Image width 240 mm; Axial slice; Head; 240x240 px
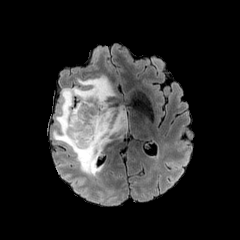
FLAIR MR image.
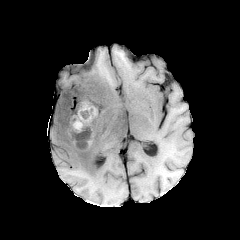
T1-weighted MR image of the same slice.
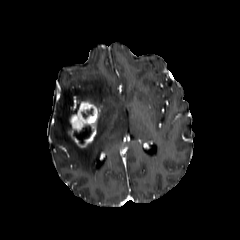
Same slice, post-contrast T1-weighted MRI.
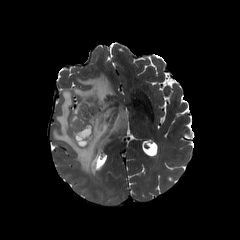
T2-weighted magnetic resonance.
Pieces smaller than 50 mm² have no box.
The peritumoral edema is at (x1=53, y1=75, x2=124, y2=176). The largest necrotic tumor core region is bounded by (x1=73, y1=126, x2=91, y2=144). The enhancing tumor lies within (x1=69, y1=101, x2=100, y2=148).